FLAIR MR.
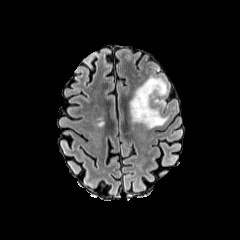
T1-weighted MR image.
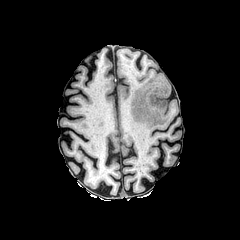
Post-contrast T1-weighted MRI.
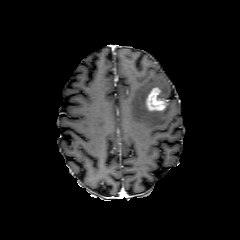
T2-weighted magnetic resonance.
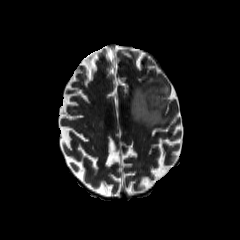
Segmented structures:
• enhancing tumor: region(145, 87, 167, 111)
• peritumoral edema: region(130, 76, 168, 128)